240x240 px
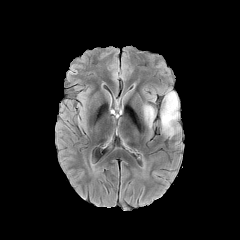
FLAIR MR.
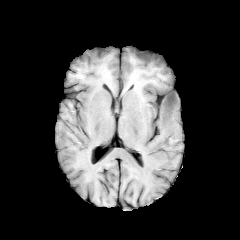
T1-weighted MRI.
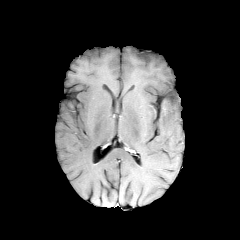
Post-contrast T1-weighted magnetic resonance.
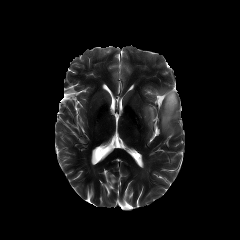
T2-weighted MRI of the same slice.
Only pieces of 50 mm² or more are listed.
necrotic_tumor_core:
  - region(167, 93, 174, 105)
peritumoral_edema:
  - region(161, 89, 179, 136)
  - region(143, 105, 155, 127)